Brain, Slice 98 of 155, Image covers 240 mm x 240 mm
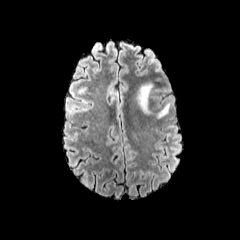
FLAIR MRI.
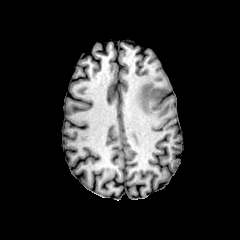
T1-weighted MR image.
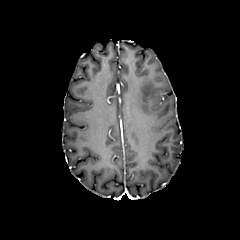
Same slice, post-contrast T1-weighted MRI.
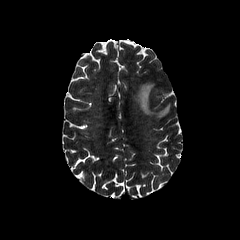
T2-weighted MRI of the same slice.
peritumoral edema = l=157, t=103, r=170, b=118; l=137, t=83, r=152, b=114